Slice index 71 | Brain
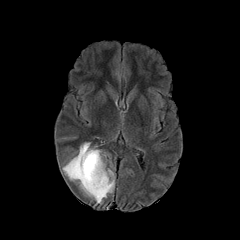
FLAIR MR image.
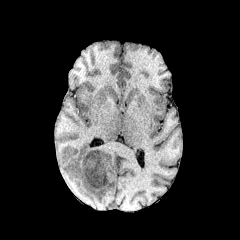
T1-weighted MR of the same slice.
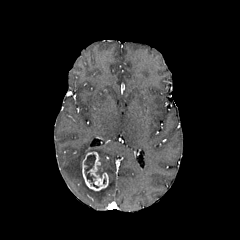
Post-contrast T1-weighted magnetic resonance of the same slice.
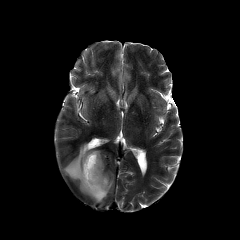
T2-weighted MR of the same slice.
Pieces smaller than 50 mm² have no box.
enhancing tumor = [x1=82, y1=151, x2=108, y2=191]
peritumoral edema = [x1=63, y1=142, x2=114, y2=203]
necrotic tumor core = [x1=96, y1=164, x2=103, y2=177], [x1=84, y1=154, x2=98, y2=187]